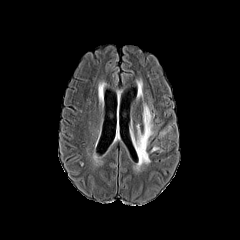
FLAIR MR.
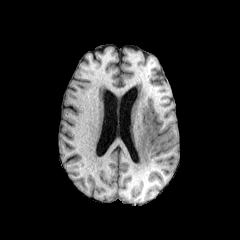
T1-weighted MRI of the same slice.
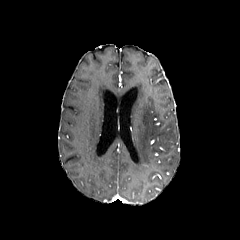
Same slice, post-contrast T1-weighted MRI.
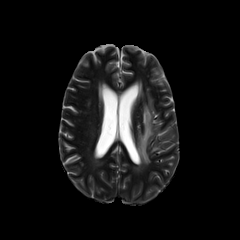
T2-weighted MRI.
Brain
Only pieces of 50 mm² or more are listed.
The largest peritumoral edema region lies within l=135, t=104, r=154, b=170.